Slice 116/155; Image size 240x240; Head
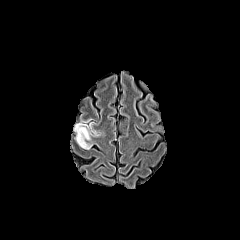
FLAIR MR.
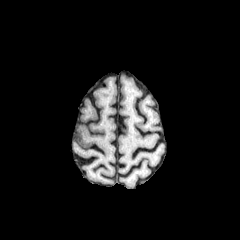
T1-weighted MR image of the same slice.
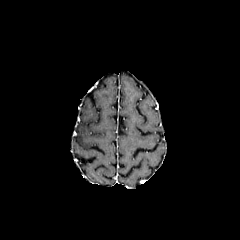
Post-contrast T1-weighted MR image.
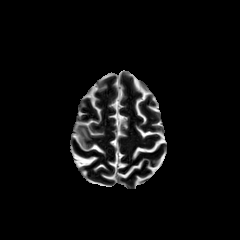
T2-weighted magnetic resonance of the same slice.
{"peritumoral_edema": ["(left=76, top=121, right=96, bottom=149)"]}